Image width 240 mm, 1.00 mm slice spacing. Head. Slice 83 of 155.
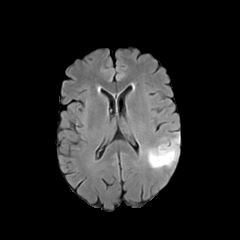
FLAIR MRI.
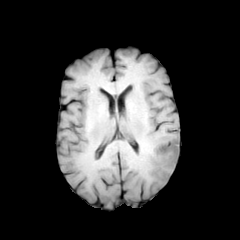
T1-weighted magnetic resonance.
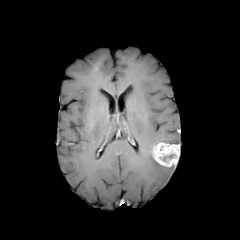
Post-contrast T1-weighted MR image of the same slice.
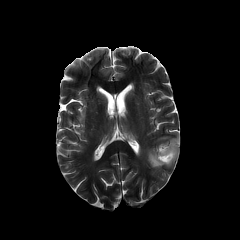
Same slice, T2-weighted magnetic resonance.
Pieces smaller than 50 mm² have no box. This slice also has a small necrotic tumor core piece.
enhancing tumor: (152,142,179,166)
peritumoral edema: (146,147,164,169), (159,133,179,143)